Image width 240 mm, 240x240 px, Brain
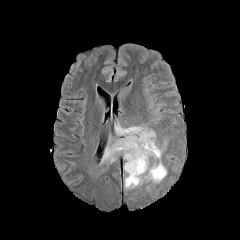
FLAIR MR.
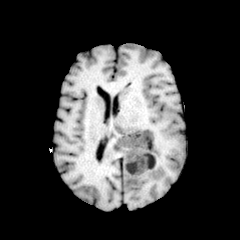
Same slice, T1-weighted MR image.
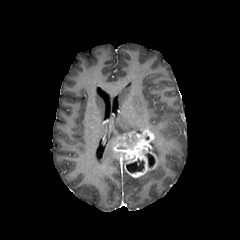
Post-contrast T1-weighted MRI.
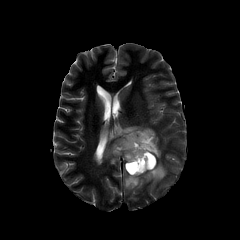
Same slice, T2-weighted MRI.
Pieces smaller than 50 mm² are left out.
Segmented structures:
- necrotic tumor core: rect(145, 153, 155, 167); rect(126, 159, 144, 173)
- peritumoral edema: rect(149, 140, 161, 159); rect(102, 144, 116, 162); rect(125, 162, 166, 188); rect(115, 124, 147, 136)
- enhancing tumor: rect(113, 129, 157, 177)